Head
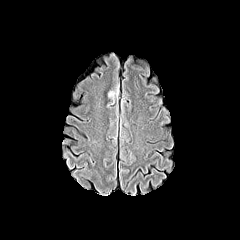
FLAIR MRI.
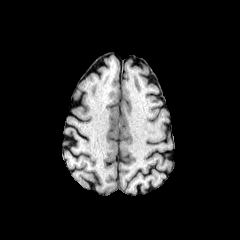
T1-weighted magnetic resonance of the same slice.
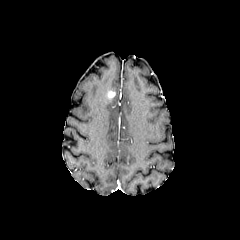
Same slice, post-contrast T1-weighted MR.
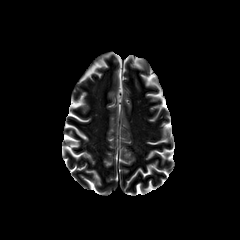
T2-weighted MR image.
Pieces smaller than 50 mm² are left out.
enhancing tumor: 108 91 115 98 | peritumoral edema: 106 83 120 107